240x240 px
FLAIR MR image.
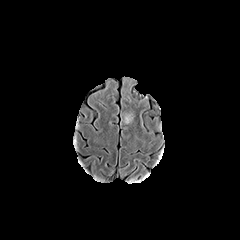
T1-weighted magnetic resonance.
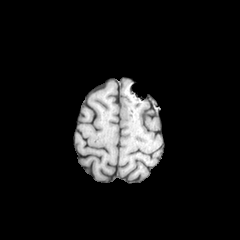
Post-contrast T1-weighted MRI.
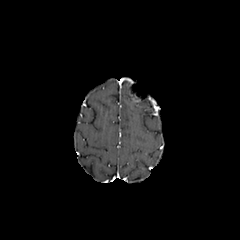
T2-weighted MR image.
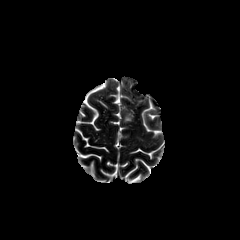
Findings:
• peritumoral edema: [123, 112, 134, 124]